Axial view, Image size 240x240
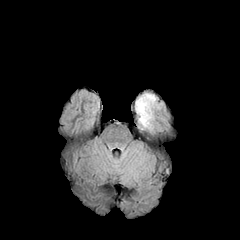
FLAIR MR image.
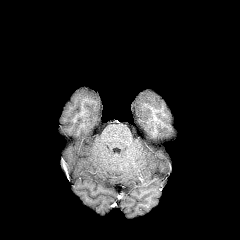
T1-weighted MR of the same slice.
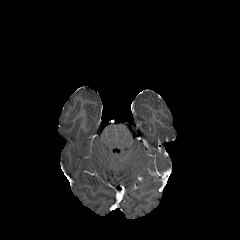
Same slice, post-contrast T1-weighted MRI.
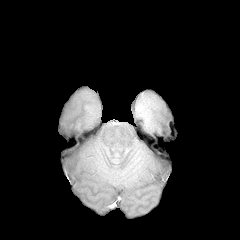
T2-weighted MR image of the same slice.
peritumoral_edema:
  - bbox(135, 93, 159, 130)